Axial plane, Head, Slice index 117
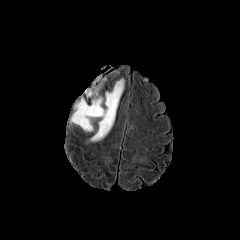
FLAIR MR.
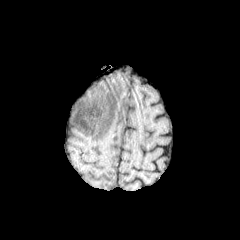
Same slice, T1-weighted magnetic resonance.
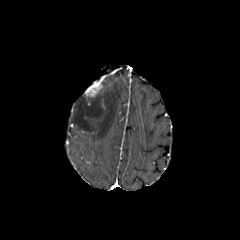
Post-contrast T1-weighted magnetic resonance.
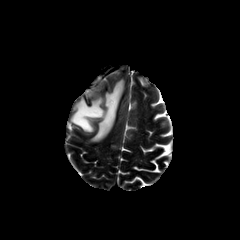
T2-weighted MRI.
enhancing tumor = [x1=85, y1=81, x2=102, y2=96]
peritumoral edema = [x1=69, y1=77, x2=125, y2=141]